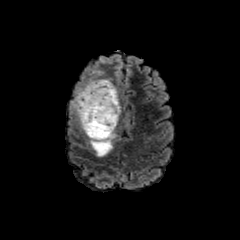
FLAIR MRI.
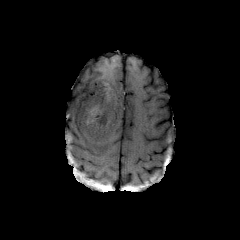
T1-weighted MRI of the same slice.
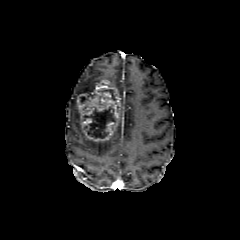
Post-contrast T1-weighted MRI.
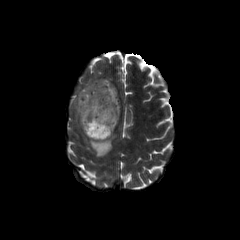
T2-weighted MRI.
Axial plane
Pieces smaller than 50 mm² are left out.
<segmentation>
  <peritumoral_edema>88:131:116:156, 70:78:108:127</peritumoral_edema>
  <enhancing_tumor>76:80:120:142</enhancing_tumor>
  <necrotic_tumor_core>83:106:115:138, 101:89:116:100</necrotic_tumor_core>
</segmentation>